Slice 82/155. 240x240 px.
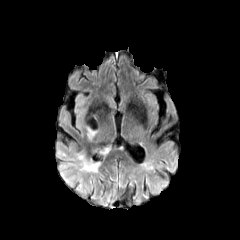
FLAIR MR.
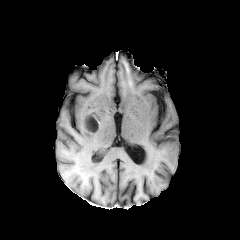
T1-weighted magnetic resonance of the same slice.
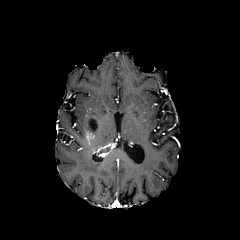
Post-contrast T1-weighted magnetic resonance.
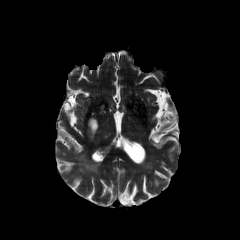
Same slice, T2-weighted MR.
enhancing tumor — [83,115,100,152]
necrotic tumor core — [87,118,97,131]
peritumoral edema — [77,154,98,172]